Axial plane. Brain.
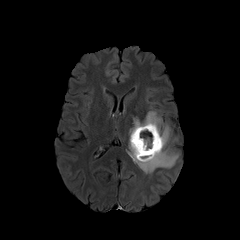
FLAIR MR.
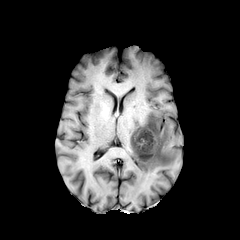
T1-weighted magnetic resonance.
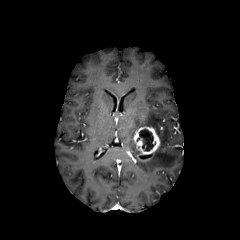
Post-contrast T1-weighted magnetic resonance.
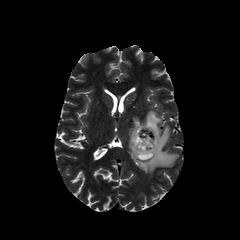
T2-weighted MRI.
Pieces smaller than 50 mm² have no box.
necrotic tumor core — bbox(137, 129, 155, 151)
peritumoral edema — bbox(129, 110, 178, 173)
enhancing tumor — bbox(133, 126, 160, 158)